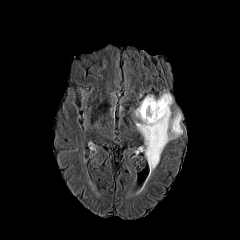
FLAIR MR image.
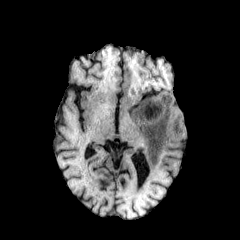
T1-weighted MR.
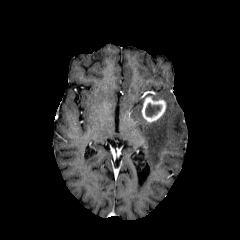
Post-contrast T1-weighted MR image.
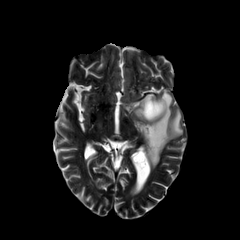
T2-weighted MRI.
Axial view | Image size 240x240
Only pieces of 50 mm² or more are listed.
The largest peritumoral edema region is at l=134, t=90, r=182, b=172. The necrotic tumor core is at l=145, t=103, r=160, b=116. The enhancing tumor is located at l=141, t=96, r=166, b=122.